Image size 240x240 | Slice 56/155
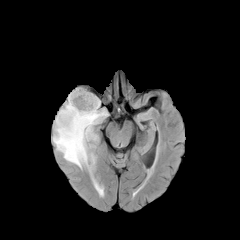
FLAIR MR image.
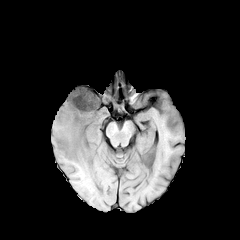
T1-weighted magnetic resonance of the same slice.
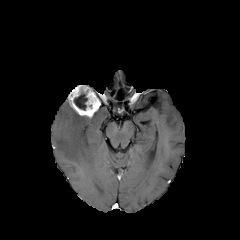
Post-contrast T1-weighted MR image.
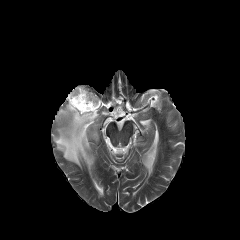
Same slice, T2-weighted MR.
The necrotic tumor core is located at region(74, 93, 87, 109). The peritumoral edema is located at region(53, 99, 108, 172). The enhancing tumor is located at region(68, 85, 100, 118).